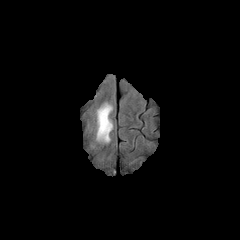
FLAIR magnetic resonance.
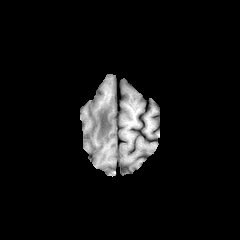
Same slice, T1-weighted MRI.
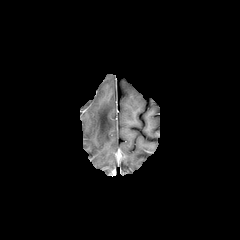
Same slice, post-contrast T1-weighted MR.
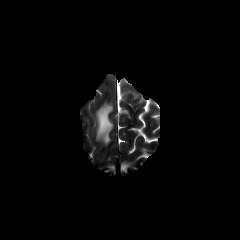
T2-weighted MR image.
240x240
Findings:
• peritumoral edema: rect(96, 102, 113, 143)